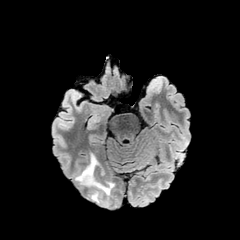
FLAIR MR image.
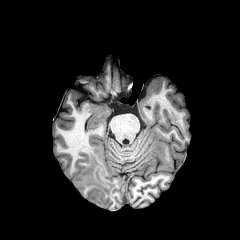
Same slice, T1-weighted MR image.
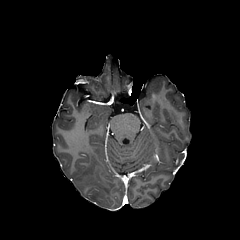
Post-contrast T1-weighted MR image.
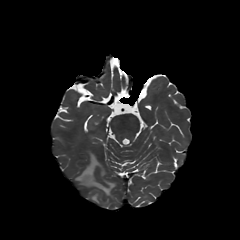
T2-weighted MRI.
Brain
• peritumoral edema: region(74, 153, 115, 205)